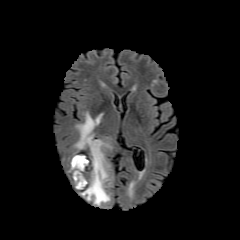
FLAIR MRI.
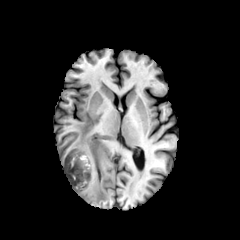
T1-weighted magnetic resonance.
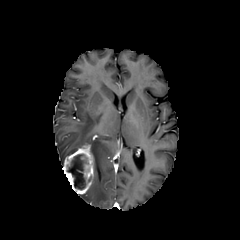
Same slice, post-contrast T1-weighted magnetic resonance.
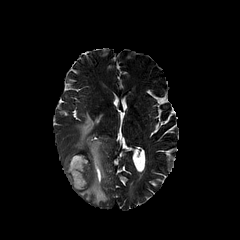
T2-weighted MR.
Brain
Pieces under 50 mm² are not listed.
enhancing tumor: 63, 142, 94, 194 | peritumoral edema: 73, 112, 110, 205 | necrotic tumor core: 66, 154, 88, 189